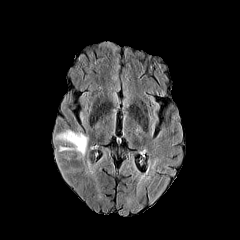
FLAIR MRI.
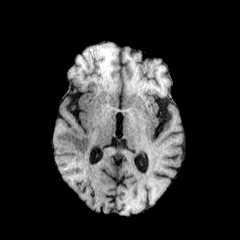
T1-weighted MRI of the same slice.
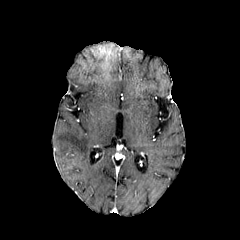
Post-contrast T1-weighted MRI.
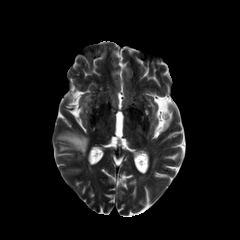
T2-weighted MR image of the same slice.
peritumoral edema at (left=56, top=130, right=88, bottom=156)